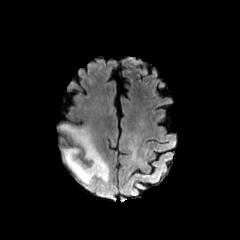
FLAIR magnetic resonance.
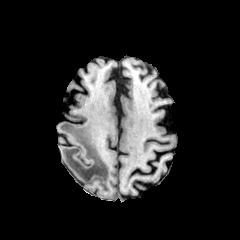
T1-weighted MR.
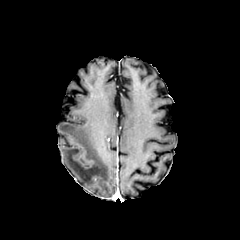
Same slice, post-contrast T1-weighted magnetic resonance.
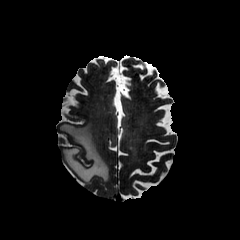
T2-weighted MR image.
Axial view. Brain.
<segmentation>
  <peritumoral_edema>59, 123, 109, 184</peritumoral_edema>
</segmentation>